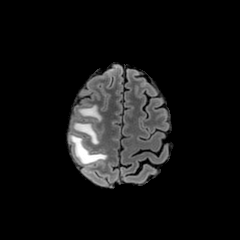
FLAIR MRI.
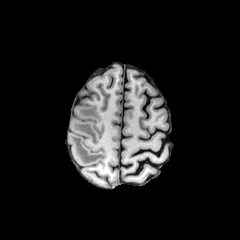
T1-weighted magnetic resonance.
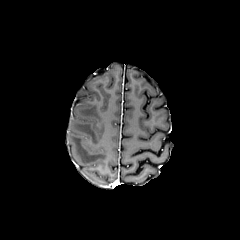
Same slice, post-contrast T1-weighted MR.
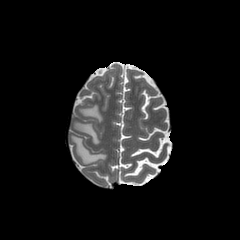
T2-weighted MR image.
240x240, Head
peritumoral edema = (73, 122, 98, 144), (79, 105, 101, 121), (70, 135, 106, 164)